Head.
FLAIR MRI.
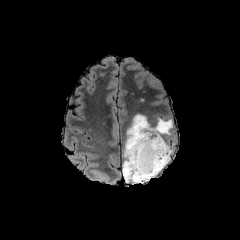
T1-weighted magnetic resonance.
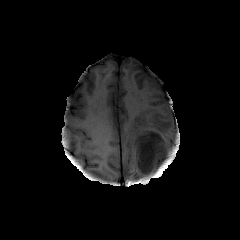
Post-contrast T1-weighted MR image.
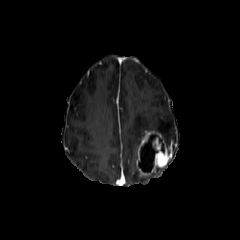
T2-weighted MR.
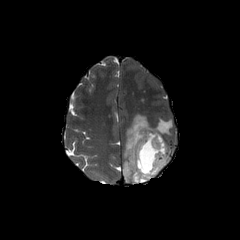
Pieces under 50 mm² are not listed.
- peritumoral edema: 122, 114, 173, 183
- enhancing tumor: 136, 130, 172, 177
- necrotic tumor core: 138, 134, 157, 172